FLAIR MR image.
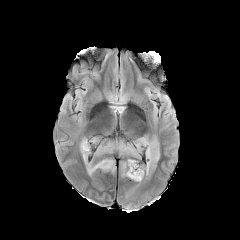
T1-weighted magnetic resonance.
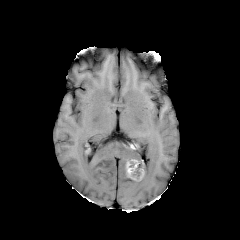
Post-contrast T1-weighted MR image.
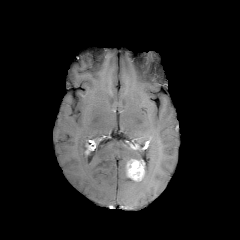
T2-weighted MR.
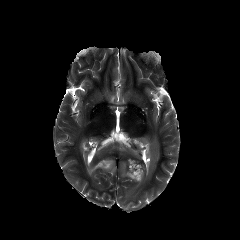
Head
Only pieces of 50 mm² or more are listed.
The largest enhancing tumor region is bounded by box(126, 159, 144, 181). The 5 largest peritumoral edema regions appear at box(134, 137, 148, 152); box(121, 162, 126, 176); box(80, 138, 115, 175); box(145, 139, 159, 176); box(117, 141, 140, 158).